Axial view; Slice 50 of 155; Head
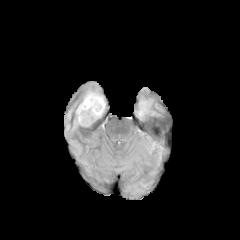
FLAIR magnetic resonance.
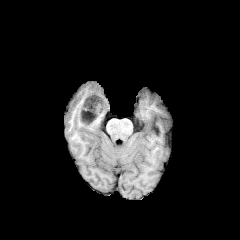
Same slice, T1-weighted MR.
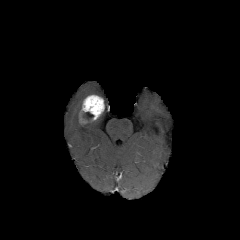
Post-contrast T1-weighted MR.
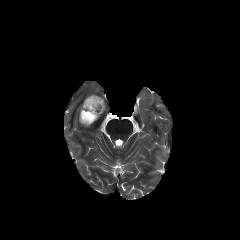
Same slice, T2-weighted MR.
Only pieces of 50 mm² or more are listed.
peritumoral edema = (64,90,105,128)
necrotic tumor core = (83,112,93,120)
enhancing tumor = (79,95,104,126)